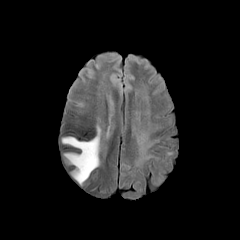
FLAIR MR image.
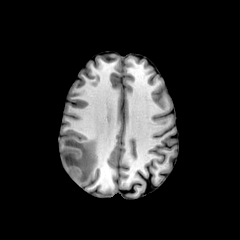
T1-weighted magnetic resonance of the same slice.
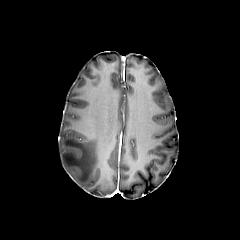
Same slice, post-contrast T1-weighted MR image.
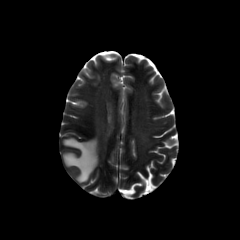
T2-weighted magnetic resonance.
Axial plane; Brain
Segmented structures:
* peritumoral edema: box=[62, 127, 100, 186]